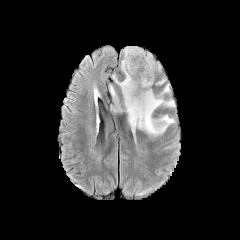
FLAIR magnetic resonance.
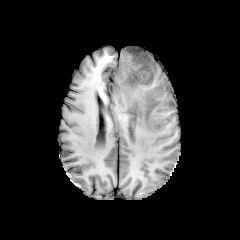
T1-weighted MRI.
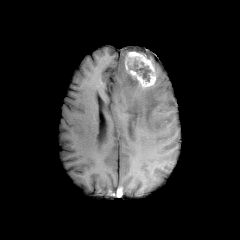
Same slice, post-contrast T1-weighted magnetic resonance.
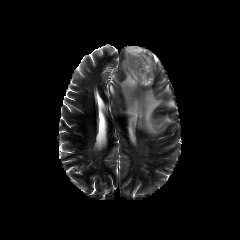
Same slice, T2-weighted MR.
Axial plane, Head
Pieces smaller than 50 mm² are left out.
Findings:
- enhancing tumor: [x1=124, y1=49, x2=156, y2=88]
- necrotic tumor core: [x1=129, y1=62, x2=150, y2=81]
- peritumoral edema: [x1=110, y1=46, x2=175, y2=136]